FLAIR MRI.
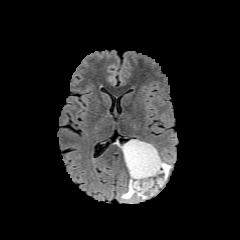
T1-weighted MR.
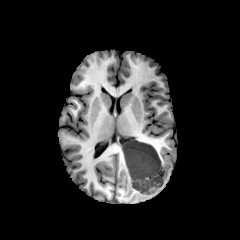
Post-contrast T1-weighted MR.
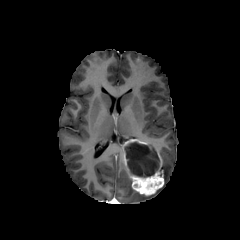
T2-weighted MRI.
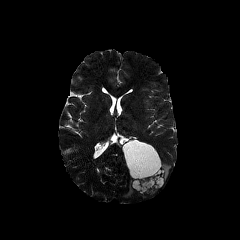
Head
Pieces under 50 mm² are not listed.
peritumoral edema: bounding box [x1=161, y1=162, x2=171, y2=180], [x1=121, y1=179, x2=147, y2=199]
enhancing tumor: bounding box [x1=122, y1=139, x2=164, y2=195]
necrotic tumor core: bounding box [x1=124, y1=142, x2=159, y2=176]